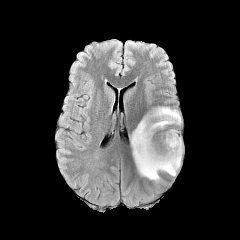
FLAIR MRI.
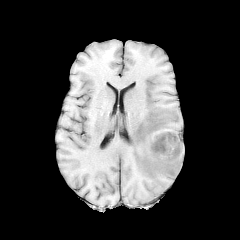
T1-weighted MR image.
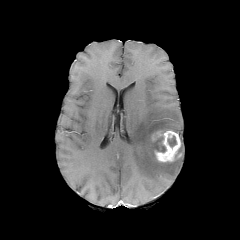
Post-contrast T1-weighted MR image of the same slice.
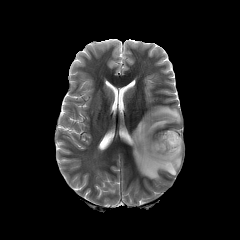
T2-weighted MRI of the same slice.
Axial view
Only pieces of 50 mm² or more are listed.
<segmentation>
  <enhancing_tumor>(left=153, top=130, right=181, bottom=162)</enhancing_tumor>
  <necrotic_tumor_core>(left=168, top=136, right=176, bottom=146)</necrotic_tumor_core>
  <peritumoral_edema>(left=130, top=106, right=181, bottom=182)</peritumoral_edema>
</segmentation>